Slice 85 of 155
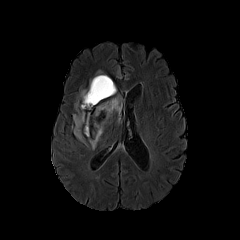
FLAIR magnetic resonance.
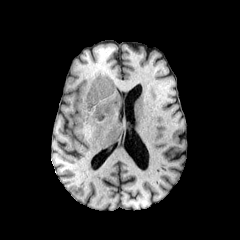
Same slice, T1-weighted MR image.
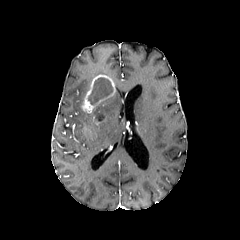
Same slice, post-contrast T1-weighted magnetic resonance.
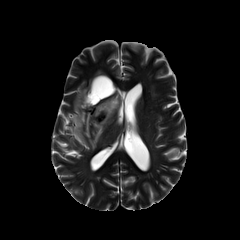
Same slice, T2-weighted MR image.
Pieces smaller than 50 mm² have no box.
2 necrotic tumor core regions are located at bbox(95, 113, 104, 121); bbox(88, 77, 113, 104). The 2 largest peritumoral edema regions appear at bbox(95, 96, 121, 118); bbox(73, 89, 106, 149). 2 enhancing tumor regions are located at bbox(81, 74, 115, 113); bbox(93, 110, 107, 124).